Slice 103 of 155; Image covers 240 mm x 240 mm; Head; Image size 240x240
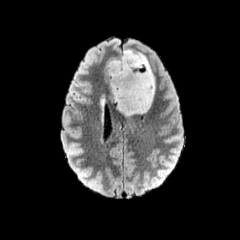
FLAIR MR image.
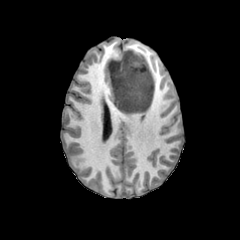
T1-weighted MRI.
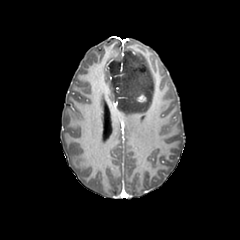
Post-contrast T1-weighted MRI.
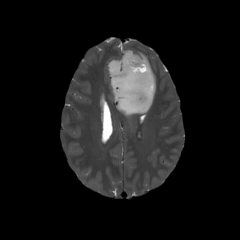
T2-weighted MR.
{"peritumoral_edema": ["<bbox>108, 49, 155, 117</bbox>"], "enhancing_tumor": ["<bbox>137, 94, 146, 102</bbox>"]}